FLAIR MR.
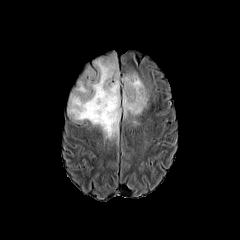
T1-weighted magnetic resonance.
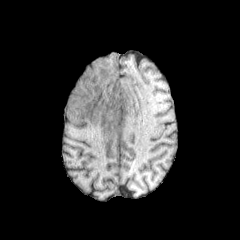
Post-contrast T1-weighted MR image.
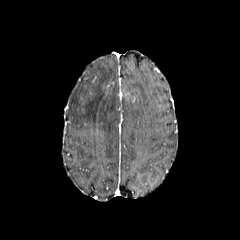
T2-weighted MR.
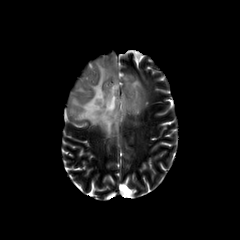
240x240 px
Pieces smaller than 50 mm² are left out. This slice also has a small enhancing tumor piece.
peritumoral edema: 68, 53, 120, 139; 121, 74, 148, 118